FLAIR MR image.
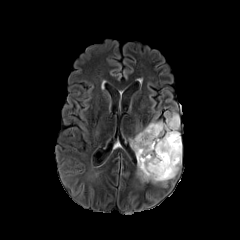
T1-weighted MR.
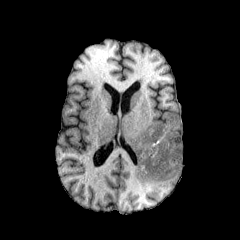
Post-contrast T1-weighted MR.
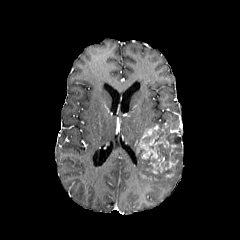
T2-weighted magnetic resonance.
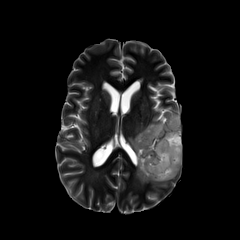
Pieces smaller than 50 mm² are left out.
peritumoral edema at <box>165,113,179,125</box>, <box>137,155,180,185</box>, <box>130,121,164,153</box>
necrotic tumor core at <box>137,149,174,179</box>, <box>154,124,180,166</box>
enhancing tumor at <box>135,124,179,173</box>